FLAIR magnetic resonance.
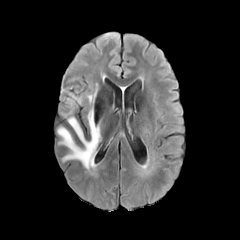
T1-weighted MR.
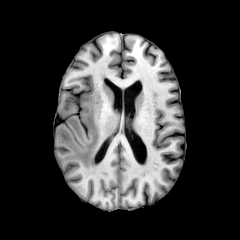
Post-contrast T1-weighted magnetic resonance.
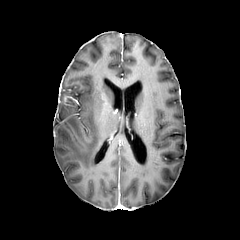
T2-weighted MRI.
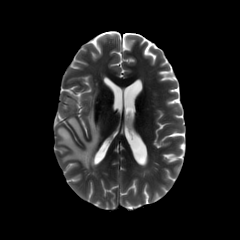
Brain | Axial plane
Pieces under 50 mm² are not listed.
The 2 largest peritumoral edema regions appear at (57, 107, 100, 174), (86, 93, 95, 103).